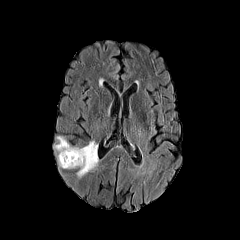
FLAIR MR image.
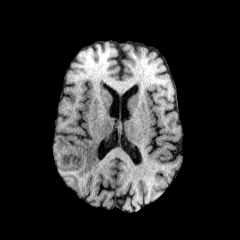
T1-weighted magnetic resonance.
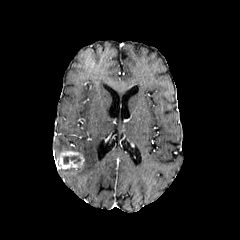
Post-contrast T1-weighted MRI.
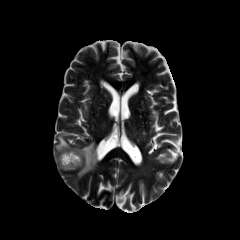
T2-weighted MR.
- peritumoral edema: region(55, 136, 97, 177)
- enhancing tumor: region(57, 150, 84, 168)
- necrotic tumor core: region(63, 156, 80, 164)